240x240; Head; Axial view
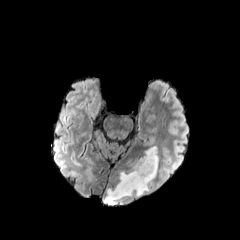
FLAIR MR image.
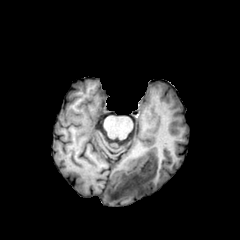
T1-weighted MR.
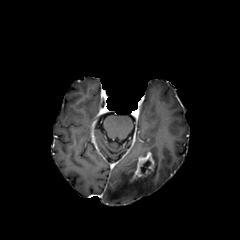
Post-contrast T1-weighted magnetic resonance.
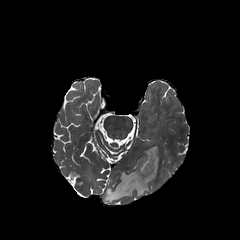
Same slice, T2-weighted MR.
peritumoral edema: box(103, 146, 159, 204)
necrotic tumor core: box(140, 159, 151, 173)
enhancing tumor: box(130, 151, 155, 181)